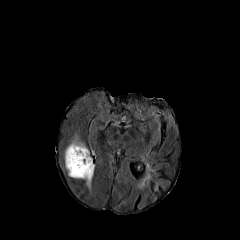
FLAIR MR image.
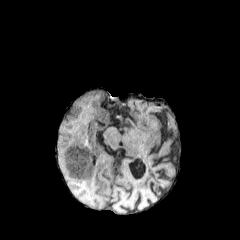
T1-weighted MR image.
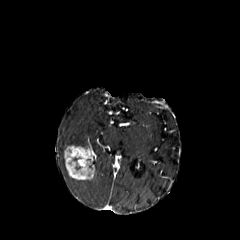
Post-contrast T1-weighted MR.
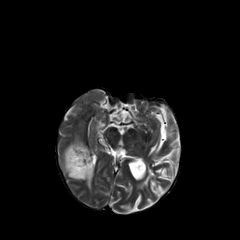
T2-weighted MRI.
Axial slice. Brain.
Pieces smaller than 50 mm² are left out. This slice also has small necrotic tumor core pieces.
The enhancing tumor is located at 64 145 95 179. 2 peritumoral edema regions are located at 68 135 87 147, 85 180 91 190.